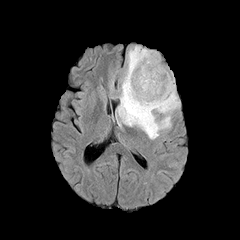
FLAIR MR.
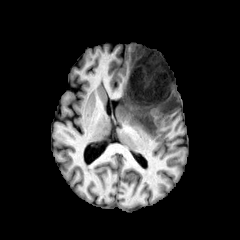
Same slice, T1-weighted MR.
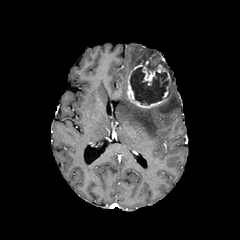
Same slice, post-contrast T1-weighted MR.
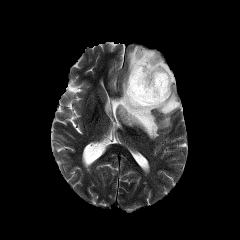
T2-weighted MR.
Axial view.
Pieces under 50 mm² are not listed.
enhancing tumor — x1=125, y1=54, x2=171, y2=108
necrotic tumor core — x1=130, y1=67, x2=169, y2=104; x1=138, y1=54, x2=150, y2=66; x1=146, y1=60, x2=157, y2=70
peritumoral edema — x1=117, y1=45, x2=180, y2=139